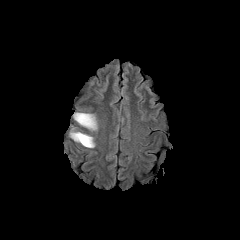
FLAIR MR.
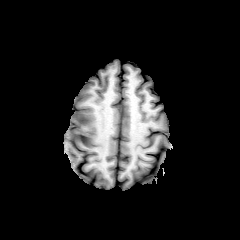
T1-weighted MR.
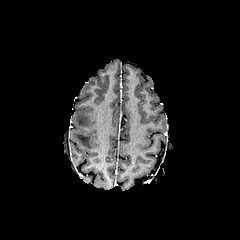
Post-contrast T1-weighted magnetic resonance.
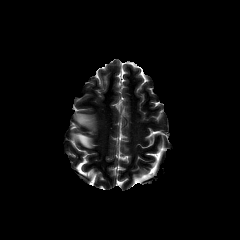
T2-weighted MRI.
Axial slice, Head
<segmentation>
  <peritumoral_edema>(71, 133, 93, 147), (74, 113, 96, 129)</peritumoral_edema>
</segmentation>